Axial view | Brain | Slice index 68
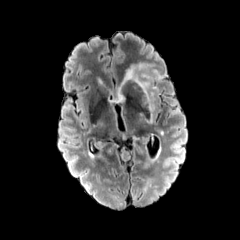
FLAIR MR.
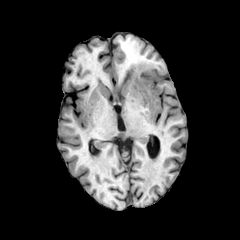
Same slice, T1-weighted MR.
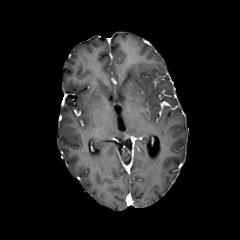
Post-contrast T1-weighted magnetic resonance.
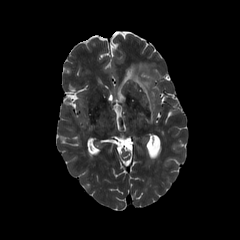
T2-weighted MR image.
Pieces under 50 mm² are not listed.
The largest peritumoral edema region appears at [123,63,157,122].